FLAIR MRI.
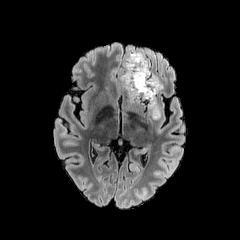
T1-weighted MR image.
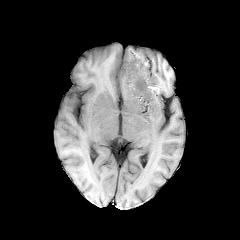
Post-contrast T1-weighted magnetic resonance.
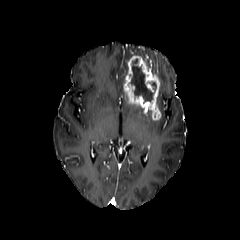
T2-weighted MR image.
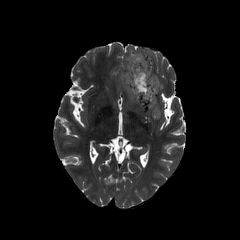
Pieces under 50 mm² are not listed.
The largest necrotic tumor core region appears at (130,58,154,101). The largest peritumoral edema region is located at (119,47,148,88). The enhancing tumor is located at (123,55,160,119).